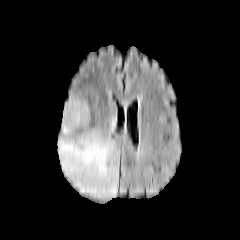
FLAIR magnetic resonance.
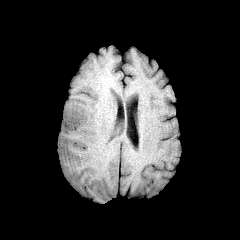
T1-weighted MRI.
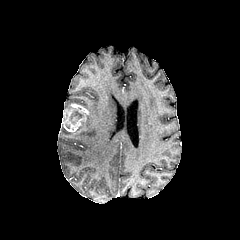
Post-contrast T1-weighted magnetic resonance of the same slice.
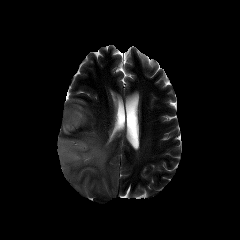
T2-weighted MR.
Head
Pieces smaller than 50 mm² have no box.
<segmentation>
  <necrotic_tumor_core>[70, 111, 83, 120]</necrotic_tumor_core>
  <peritumoral_edema>[57, 114, 117, 198], [64, 98, 88, 110]</peritumoral_edema>
  <enhancing_tumor>[62, 103, 89, 132]</enhancing_tumor>
</segmentation>